Axial view. Head.
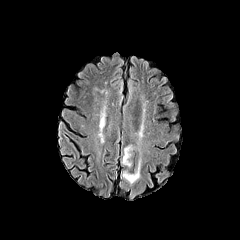
FLAIR MR image.
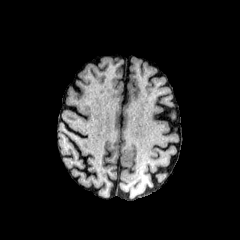
T1-weighted MRI.
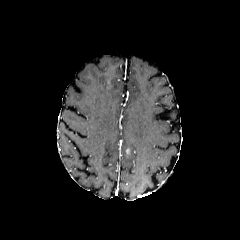
Same slice, post-contrast T1-weighted MR.
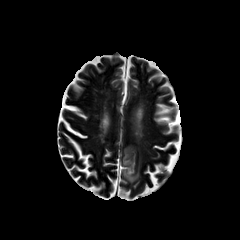
T2-weighted MR of the same slice.
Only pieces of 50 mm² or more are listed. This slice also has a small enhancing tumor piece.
The 2 largest peritumoral edema regions appear at <bbox>121, 156, 141, 184</bbox>, <bbox>121, 145, 134, 167</bbox>.